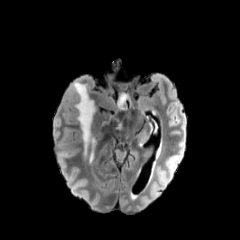
FLAIR magnetic resonance.
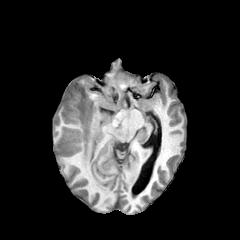
T1-weighted MR.
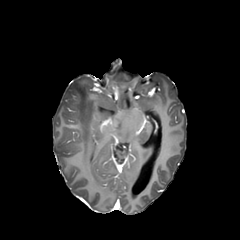
Same slice, post-contrast T1-weighted MRI.
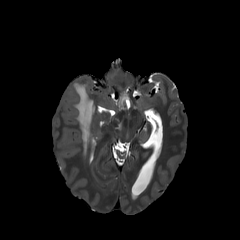
T2-weighted MRI.
240x240
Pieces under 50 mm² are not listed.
{"peritumoral_edema": ["(left=70, top=81, right=94, bottom=158)", "(left=117, top=93, right=130, bottom=109)"]}